FLAIR MRI.
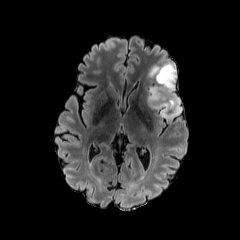
T1-weighted magnetic resonance.
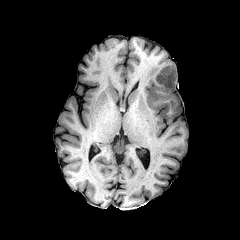
Post-contrast T1-weighted magnetic resonance.
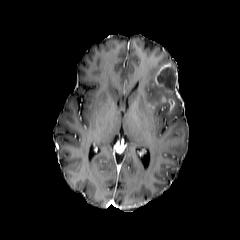
T2-weighted MR image.
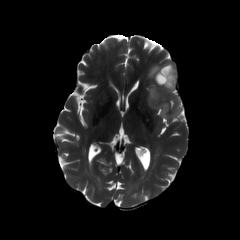
240x240 | Axial plane | Brain
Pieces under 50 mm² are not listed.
The 2 largest enhancing tumor regions are located at l=155, t=63, r=177, b=93; l=160, t=95, r=174, b=110. The largest necrotic tumor core region is located at l=157, t=67, r=175, b=88. The largest peritumoral edema region is at l=147, t=64, r=181, b=119.